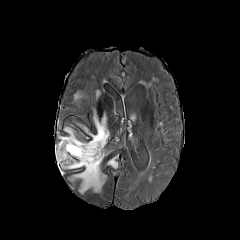
FLAIR MRI.
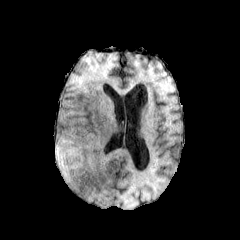
T1-weighted magnetic resonance of the same slice.
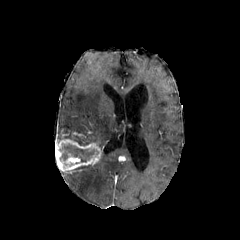
Same slice, post-contrast T1-weighted MRI.
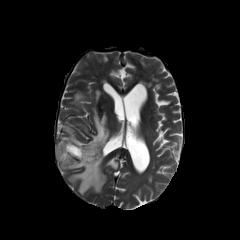
Same slice, T2-weighted MR image.
240x240
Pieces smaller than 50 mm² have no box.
peritumoral edema: (x1=107, y1=158, x2=117, y2=168), (x1=70, y1=154, x2=105, y2=193), (x1=60, y1=128, x2=86, y2=144), (x1=89, y1=112, x2=108, y2=148) | necrotic tumor core: (x1=60, y1=144, x2=94, y2=161) | enhancing tumor: (x1=55, y1=139, x2=102, y2=172)